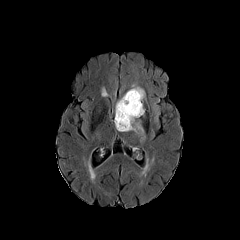
FLAIR MR.
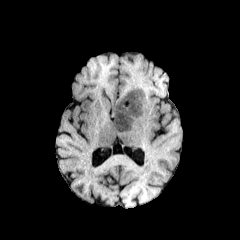
Same slice, T1-weighted MRI.
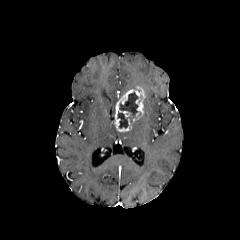
Post-contrast T1-weighted MR image.
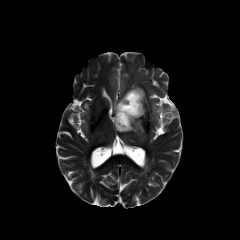
T2-weighted MR.
Head
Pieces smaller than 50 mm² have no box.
peritumoral edema: box=[131, 120, 144, 140] | necrotic tumor core: box=[119, 92, 138, 122]; box=[117, 111, 128, 128] | enhancing tumor: box=[114, 87, 145, 131]